240x240, Slice index 91, Brain
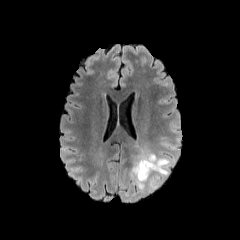
FLAIR MR image.
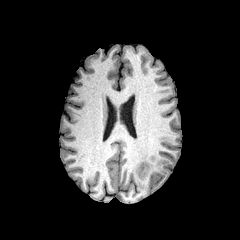
Same slice, T1-weighted MR image.
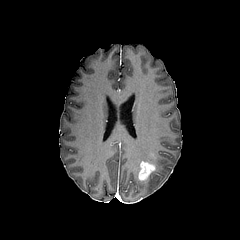
Post-contrast T1-weighted MRI.
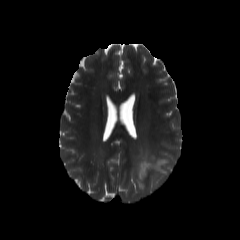
T2-weighted magnetic resonance of the same slice.
<segmentation>
  <enhancing_tumor>x1=138 y1=160 x2=157 y2=180</enhancing_tumor>
  <peritumoral_edema>x1=130 y1=152 x2=176 y2=192</peritumoral_edema>
</segmentation>